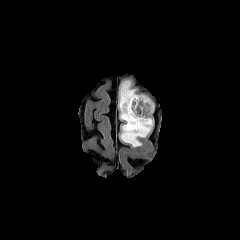
FLAIR MR.
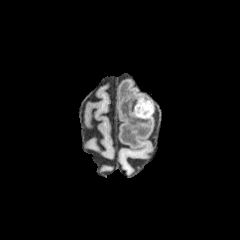
T1-weighted magnetic resonance of the same slice.
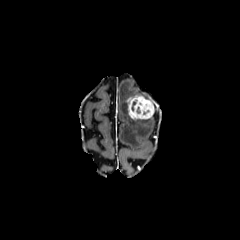
Same slice, post-contrast T1-weighted MR.
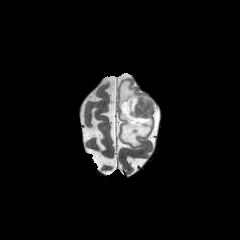
T2-weighted magnetic resonance.
Axial plane
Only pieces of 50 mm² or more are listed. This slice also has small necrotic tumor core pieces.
The peritumoral edema appears at x1=119 y1=81 x2=152 y2=146. The enhancing tumor is bounded by x1=126 y1=95 x2=154 y2=120.